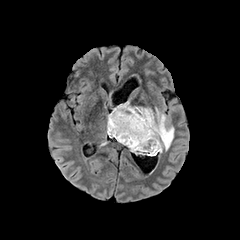
FLAIR magnetic resonance.
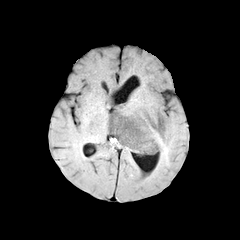
Same slice, T1-weighted MRI.
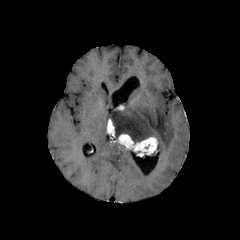
Same slice, post-contrast T1-weighted magnetic resonance.
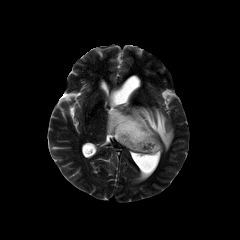
T2-weighted MR of the same slice.
240x240 px; Head
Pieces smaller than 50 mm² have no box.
Findings:
- peritumoral edema: bbox=[107, 101, 173, 152]
- enhancing tumor: bbox=[107, 118, 115, 137]; bbox=[117, 134, 158, 156]